Axial plane | Slice index 51
FLAIR MRI.
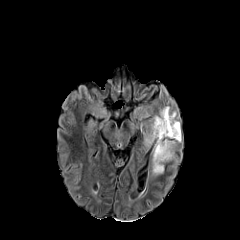
T1-weighted MR.
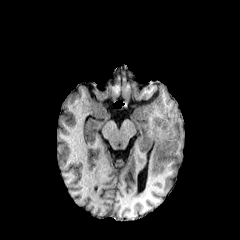
Post-contrast T1-weighted MR image.
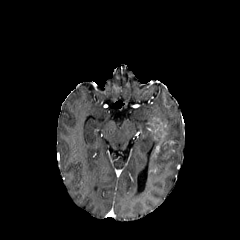
T2-weighted MR image.
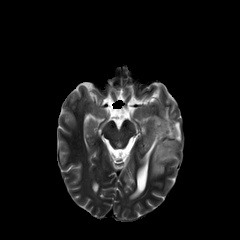
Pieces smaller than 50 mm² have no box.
necrotic tumor core = bbox=[155, 138, 168, 158]
peritumoral edema = bbox=[152, 107, 180, 142]; bbox=[152, 143, 174, 174]; bbox=[146, 124, 157, 143]
enhancing tumor = bbox=[153, 139, 162, 157]; bbox=[154, 122, 165, 137]